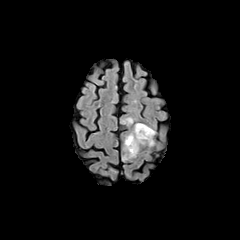
FLAIR magnetic resonance.
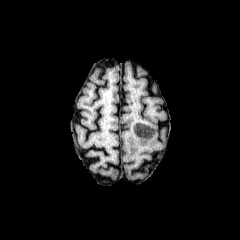
T1-weighted MR.
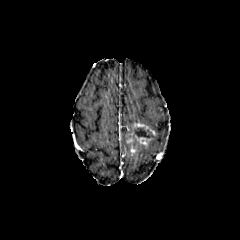
Same slice, post-contrast T1-weighted MRI.
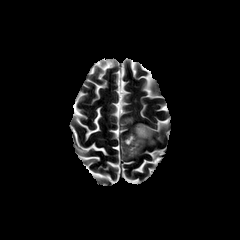
T2-weighted magnetic resonance.
Axial view
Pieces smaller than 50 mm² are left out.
peritumoral_edema:
  - (x1=123, y1=134, x2=143, y2=159)
  - (x1=122, y1=117, x2=133, y2=124)
necrotic_tumor_core:
  - (x1=134, y1=128, x2=153, y2=137)
enhancing_tumor:
  - (x1=126, y1=123, x2=155, y2=155)